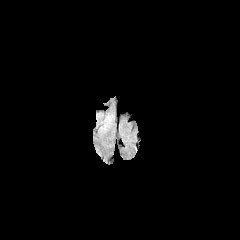
FLAIR magnetic resonance.
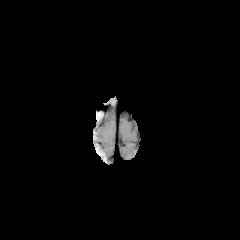
T1-weighted MR image.
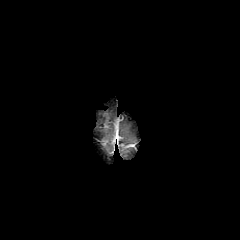
Post-contrast T1-weighted MRI of the same slice.
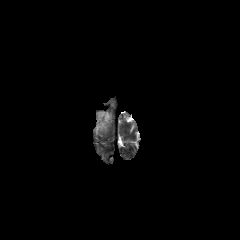
T2-weighted MR image.
Head. Axial plane.
Findings:
* enhancing tumor: box(103, 113, 108, 129)
* peritumoral edema: box(96, 111, 112, 132)